Image size 240x240. Head.
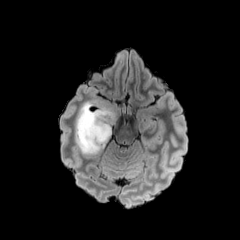
FLAIR MRI.
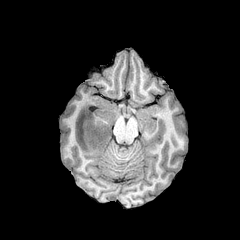
T1-weighted MR image.
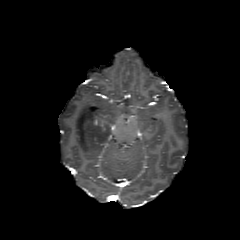
Post-contrast T1-weighted MR.
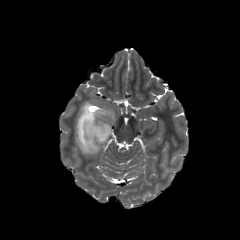
Same slice, T2-weighted MR image.
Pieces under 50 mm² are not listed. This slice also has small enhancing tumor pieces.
{
  "peritumoral_edema": [
    "75 100 121 155"
  ]
}